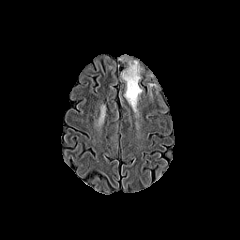
FLAIR MRI.
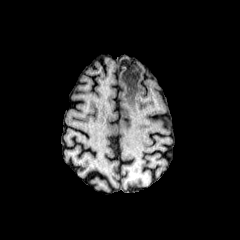
T1-weighted MR.
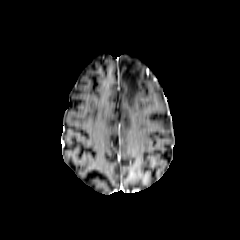
Post-contrast T1-weighted MR image.
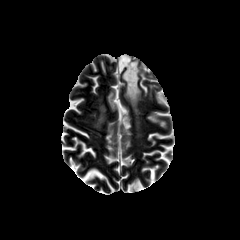
T2-weighted MRI of the same slice.
Axial slice; Brain
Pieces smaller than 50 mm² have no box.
peritumoral_edema:
  - box=[120, 57, 141, 112]
  - box=[99, 107, 104, 123]